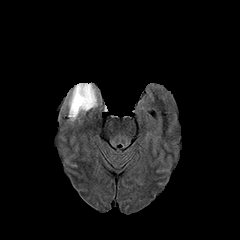
FLAIR MRI.
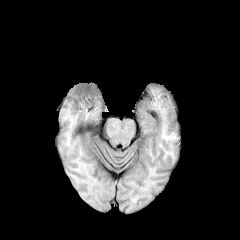
T1-weighted MR.
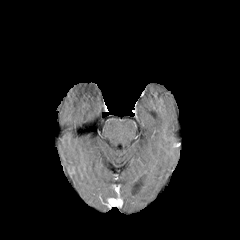
Same slice, post-contrast T1-weighted MR.
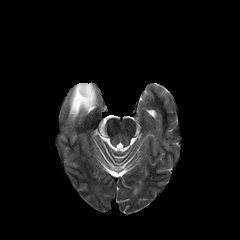
T2-weighted MR image of the same slice.
Axial plane.
<segmentation>
  <peritumoral_edema>[68, 83, 97, 120]</peritumoral_edema>
</segmentation>